Brain, Axial view
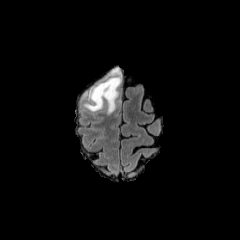
FLAIR MRI.
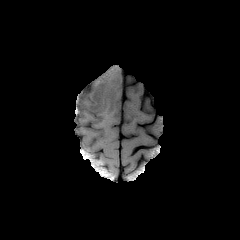
T1-weighted MRI of the same slice.
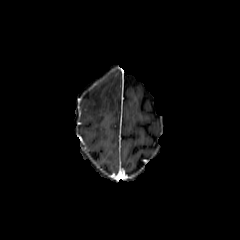
Post-contrast T1-weighted MRI.
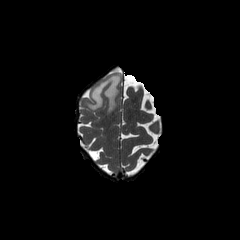
Same slice, T2-weighted MR image.
peritumoral_edema:
  - 84,68,121,113